Image covers 240 mm x 240 mm
FLAIR MRI.
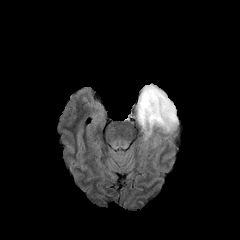
T1-weighted MR.
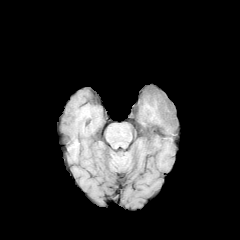
Post-contrast T1-weighted MR.
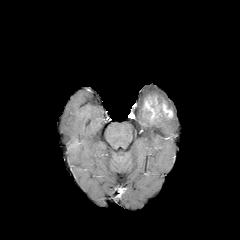
T2-weighted MR.
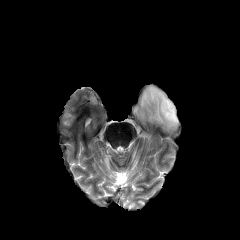
enhancing tumor — (left=144, top=96, right=173, bottom=121)
peritumoral edema — (left=136, top=84, right=178, bottom=139)